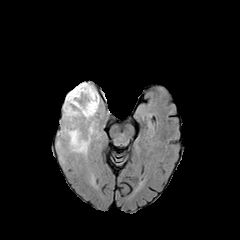
FLAIR magnetic resonance.
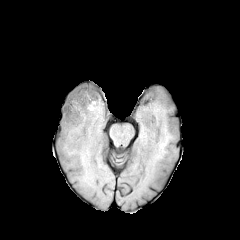
T1-weighted MRI.
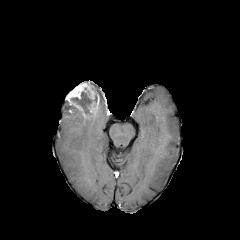
Post-contrast T1-weighted MR image.
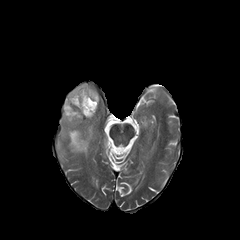
T2-weighted MR of the same slice.
Axial slice. Head.
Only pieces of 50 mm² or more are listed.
enhancing tumor — l=65, t=82, r=99, b=117
necrotic tumor core — l=71, t=92, r=92, b=113
peritumoral edema — l=63, t=100, r=83, b=121; l=64, t=121, r=94, b=155